Slice index 97; Head
FLAIR MR image.
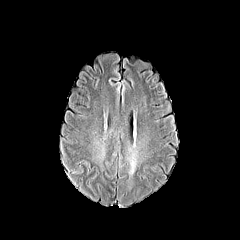
T1-weighted MRI.
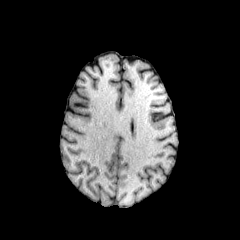
Post-contrast T1-weighted MR.
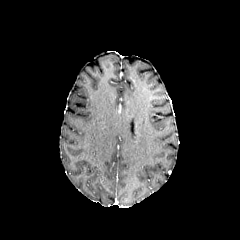
T2-weighted MR.
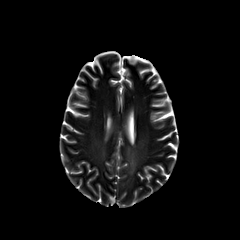
peritumoral_edema:
  - 127 149 137 174